Axial plane; Slice index 73; Image width 240 mm, 1.00 mm slice spacing; 240x240
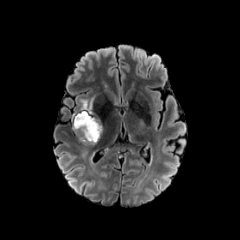
FLAIR magnetic resonance.
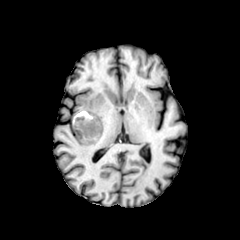
Same slice, T1-weighted magnetic resonance.
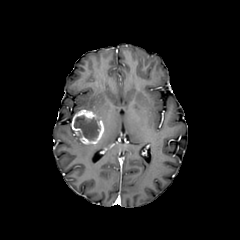
Post-contrast T1-weighted MRI.
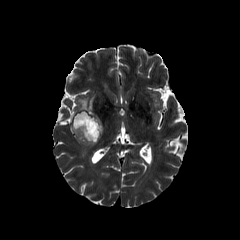
Same slice, T2-weighted MRI.
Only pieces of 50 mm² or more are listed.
peritumoral edema: box(80, 96, 95, 110) | necrotic tumor core: box(74, 115, 99, 140) | enhancing tumor: box(72, 110, 103, 144)